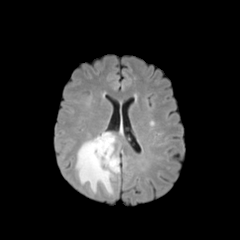
FLAIR MRI.
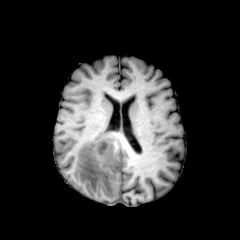
T1-weighted magnetic resonance of the same slice.
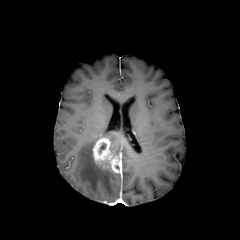
Post-contrast T1-weighted MR.
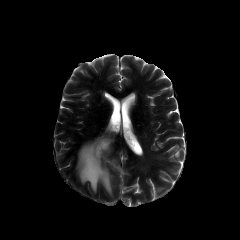
Same slice, T2-weighted MRI.
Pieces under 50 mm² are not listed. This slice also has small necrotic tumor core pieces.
enhancing tumor at [93, 138, 120, 172]
peritumoral edema at [76, 132, 116, 194]